Brain.
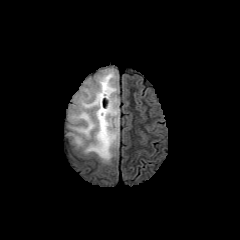
FLAIR MRI.
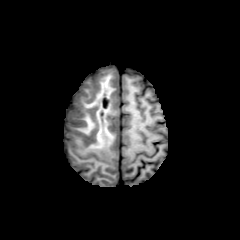
T1-weighted MR.
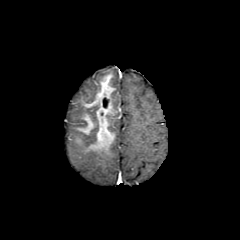
Post-contrast T1-weighted MR of the same slice.
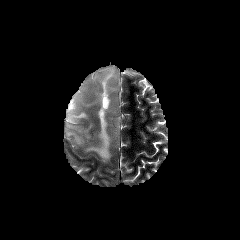
T2-weighted MRI.
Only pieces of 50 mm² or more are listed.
enhancing tumor: (96, 92, 112, 116)
peritumoral edema: (66, 67, 119, 163)
necrotic tumor core: (102, 97, 109, 108)